FLAIR MR.
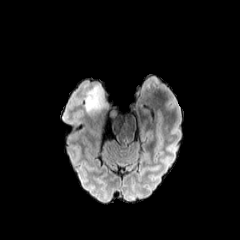
T1-weighted MR.
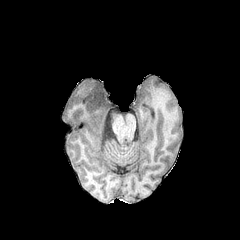
Post-contrast T1-weighted MR.
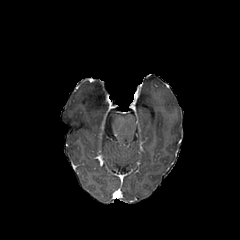
T2-weighted magnetic resonance.
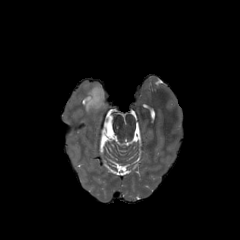
240x240
peritumoral edema at [x1=82, y1=81, x2=110, y2=113], [x1=109, y1=110, x2=117, y2=118]